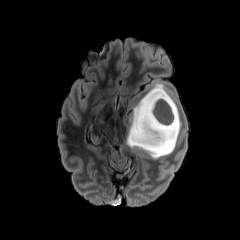
FLAIR magnetic resonance.
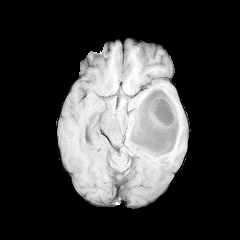
T1-weighted MRI.
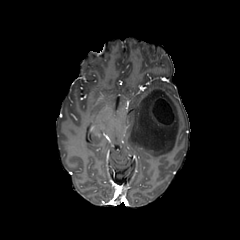
Post-contrast T1-weighted MR image.
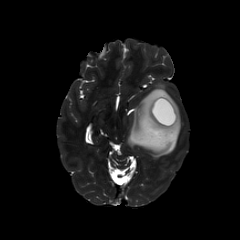
T2-weighted MR image.
240x240
{
  "peritumoral_edema": [
    "x1=126 y1=84 x2=180 y2=158"
  ],
  "enhancing_tumor": [
    "x1=150 y1=96 x2=176 y2=126"
  ],
  "necrotic_tumor_core": [
    "x1=152 y1=98 x2=173 y2=124"
  ]
}